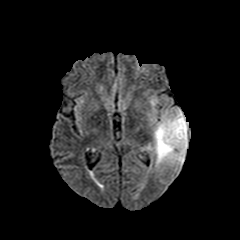
FLAIR magnetic resonance.
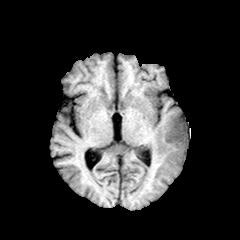
T1-weighted MR image.
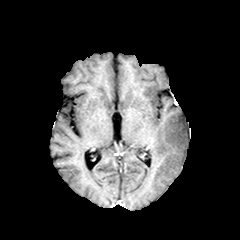
Same slice, post-contrast T1-weighted magnetic resonance.
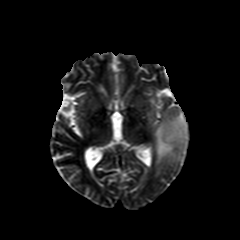
T2-weighted MRI.
Brain
peritumoral edema: bounding box box=[153, 108, 187, 166]